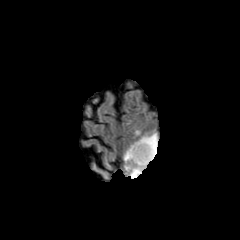
FLAIR MR image.
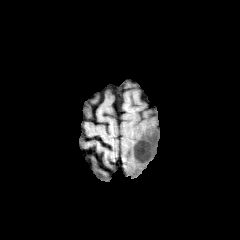
T1-weighted MR image of the same slice.
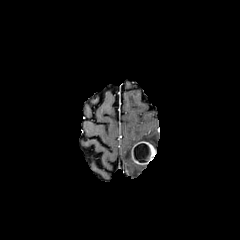
Post-contrast T1-weighted MR image.
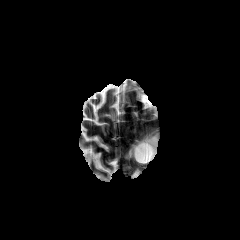
T2-weighted MRI.
Brain | Axial view
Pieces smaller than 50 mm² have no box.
<segmentation>
  <peritumoral_edema>{"x1": 124, "y1": 132, "x2": 158, "y2": 160}, {"x1": 125, "y1": 164, "x2": 146, "y2": 178}</peritumoral_edema>
  <enhancing_tumor>{"x1": 131, "y1": 141, "x2": 156, "y2": 165}</enhancing_tumor>
  <necrotic_tumor_core>{"x1": 134, "y1": 143, "x2": 150, "y2": 162}</necrotic_tumor_core>
</segmentation>